Brain | Image width 240 mm, 1.00 mm slice spacing | Slice 94/155 | 240x240 px
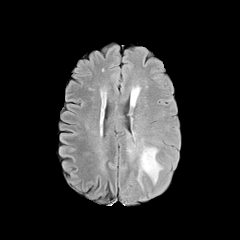
FLAIR MR.
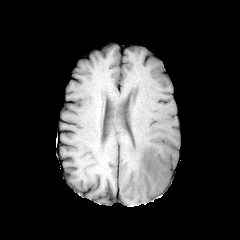
Same slice, T1-weighted MR image.
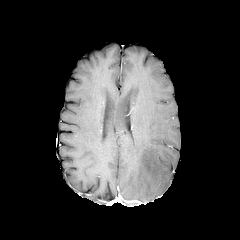
Same slice, post-contrast T1-weighted MR.
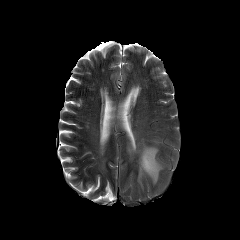
T2-weighted magnetic resonance of the same slice.
Findings:
• peritumoral edema: [x1=127, y1=135, x2=163, y2=187]